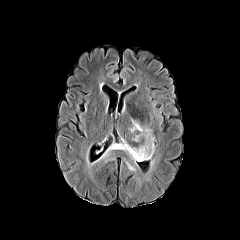
FLAIR MRI.
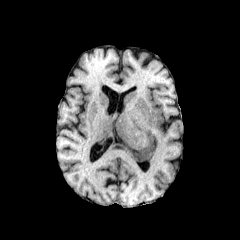
T1-weighted magnetic resonance of the same slice.
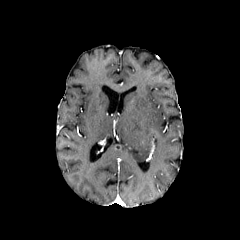
Post-contrast T1-weighted MRI.
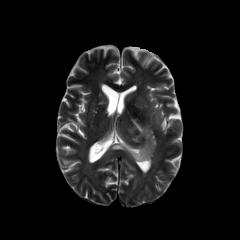
Same slice, T2-weighted MRI.
Head
{"peritumoral_edema": ["l=101, t=118, r=154, b=161", "l=145, t=159, r=154, b=180", "l=125, t=158, r=135, b=171"]}